Slice 105/155, Axial slice
FLAIR MRI.
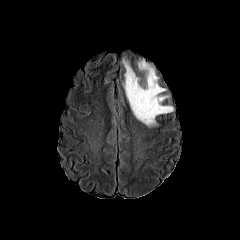
T1-weighted magnetic resonance.
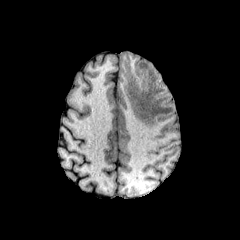
Post-contrast T1-weighted magnetic resonance.
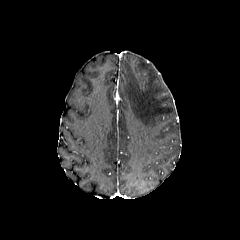
T2-weighted MR.
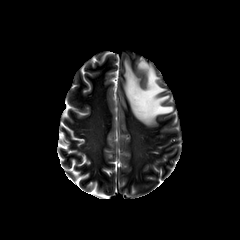
peritumoral edema = <box>123,60,173,127</box>